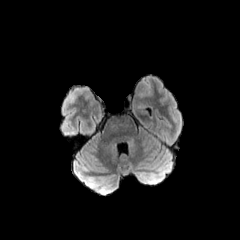
FLAIR magnetic resonance.
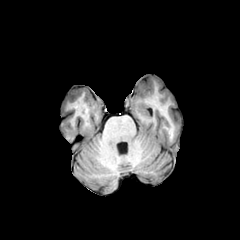
T1-weighted magnetic resonance of the same slice.
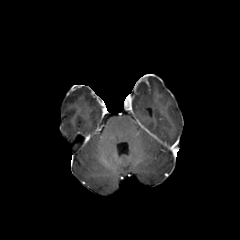
Post-contrast T1-weighted magnetic resonance of the same slice.
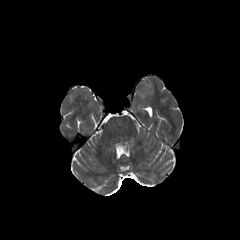
T2-weighted magnetic resonance.
Axial plane.
enhancing tumor: bounding box region(135, 79, 150, 94)
peritumoral edema: bounding box region(138, 78, 153, 97)